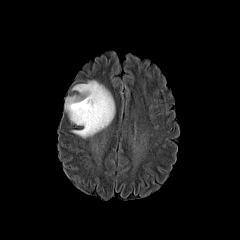
FLAIR MR.
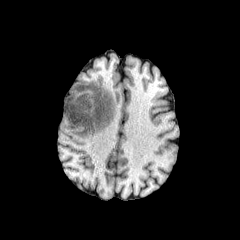
T1-weighted MR image.
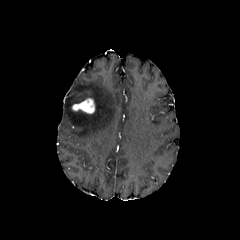
Post-contrast T1-weighted MR.
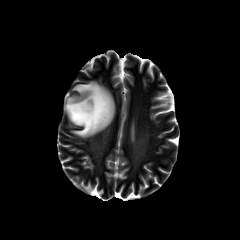
Same slice, T2-weighted magnetic resonance.
The peritumoral edema is at 65, 80, 115, 138. The enhancing tumor appears at 72, 98, 95, 114.